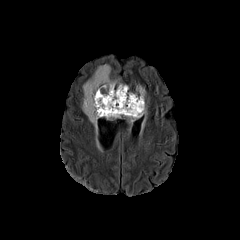
FLAIR MRI.
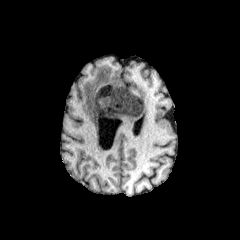
T1-weighted MR.
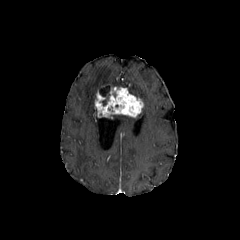
Same slice, post-contrast T1-weighted MR.
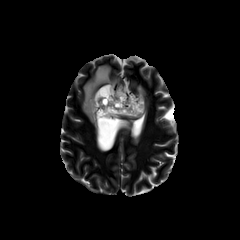
Same slice, T2-weighted MR.
Head; 240x240
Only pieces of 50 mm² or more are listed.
<segmentation>
  <peritumoral_edema>112,85,146,123; 82,64,127,130</peritumoral_edema>
  <enhancing_tumor>94,86,143,118</enhancing_tumor>
  <necrotic_tumor_core>99,85,110,105</necrotic_tumor_core>
</segmentation>